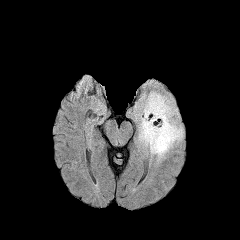
FLAIR MRI.
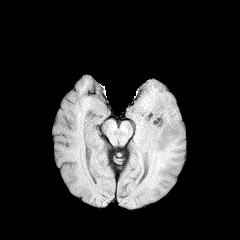
T1-weighted MRI.
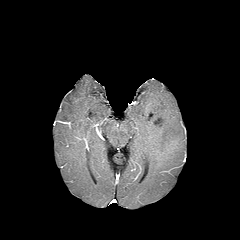
Post-contrast T1-weighted MR image.
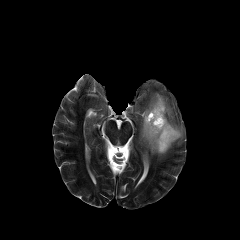
T2-weighted MRI.
240x240 px; Axial view
peritumoral edema = [x1=135, y1=92, x2=183, y2=160]